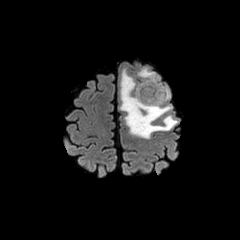
FLAIR magnetic resonance.
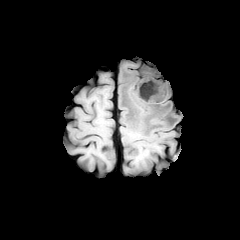
T1-weighted magnetic resonance.
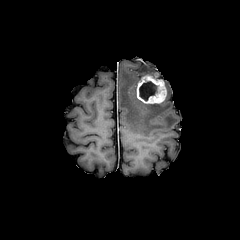
Post-contrast T1-weighted MR image.
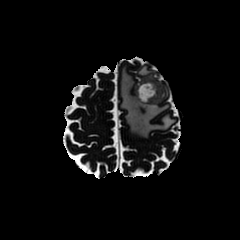
T2-weighted MR of the same slice.
Axial slice, Brain
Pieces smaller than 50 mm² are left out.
The enhancing tumor is located at box=[137, 73, 166, 103]. The 2 largest peritumoral edema regions appear at box=[119, 68, 176, 138]; box=[137, 66, 155, 80]. The necrotic tumor core appears at box=[139, 81, 157, 100].